Head. Axial plane. Slice 131/155.
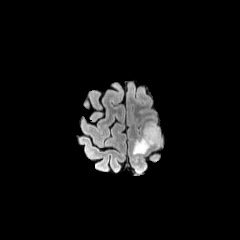
FLAIR MR image.
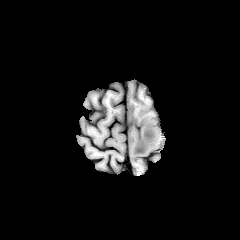
T1-weighted MRI.
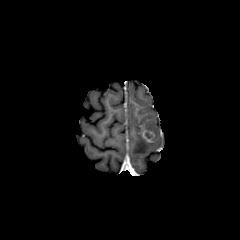
Post-contrast T1-weighted MR image.
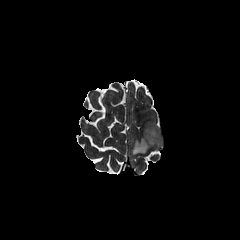
T2-weighted MRI.
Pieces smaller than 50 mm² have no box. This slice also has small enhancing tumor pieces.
The peritumoral edema is bounded by 132, 121, 161, 154.